FLAIR magnetic resonance.
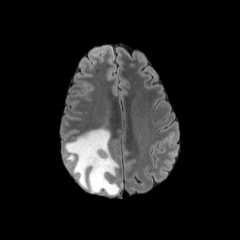
T1-weighted MRI.
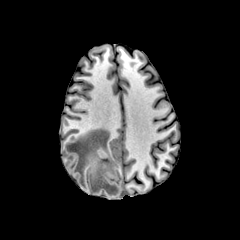
Post-contrast T1-weighted MR.
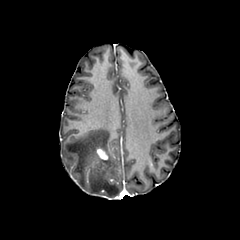
T2-weighted MR.
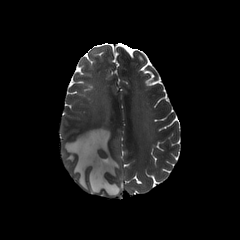
Annotated regions:
• peritumoral edema: (64,128,121,196)
• enhancing tumor: (96,148,108,160)